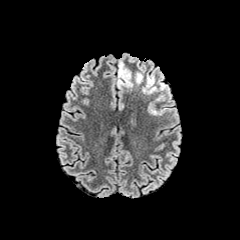
FLAIR magnetic resonance.
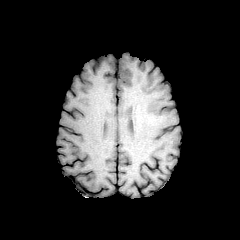
T1-weighted MR image of the same slice.
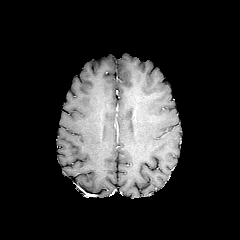
Post-contrast T1-weighted MR of the same slice.
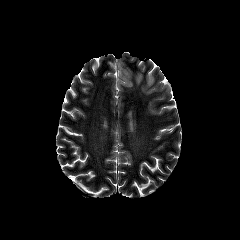
T2-weighted magnetic resonance of the same slice.
Brain
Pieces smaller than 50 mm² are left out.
peritumoral edema: 117:61:132:87, 135:72:143:84, 142:75:157:93, 148:102:163:114